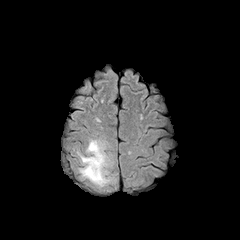
FLAIR MR image.
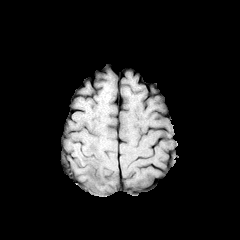
T1-weighted MR.
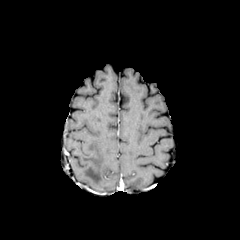
Post-contrast T1-weighted MR.
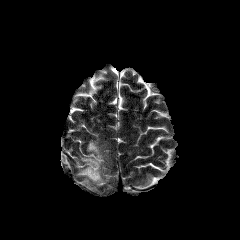
T2-weighted MR image.
Head
peritumoral_edema:
  - rect(81, 140, 109, 186)